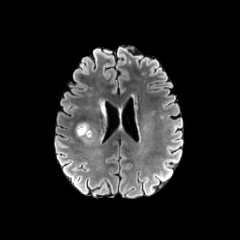
FLAIR MRI.
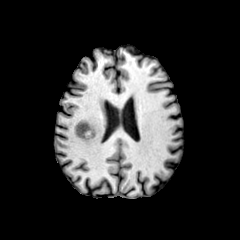
T1-weighted magnetic resonance.
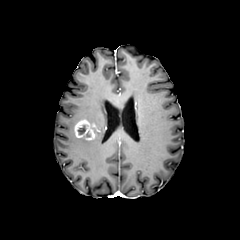
Same slice, post-contrast T1-weighted magnetic resonance.
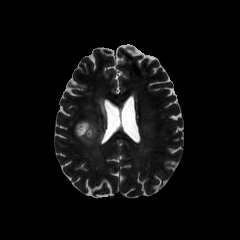
Same slice, T2-weighted magnetic resonance.
Axial view.
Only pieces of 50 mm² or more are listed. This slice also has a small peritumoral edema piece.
The enhancing tumor is at box(75, 121, 95, 140). The largest necrotic tumor core region lies within box(78, 125, 85, 134).